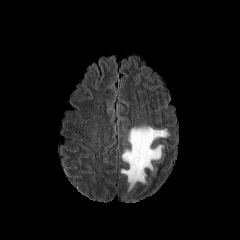
FLAIR MR image.
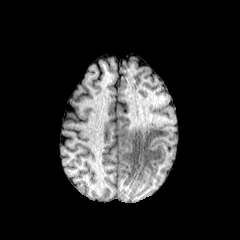
T1-weighted MR image.
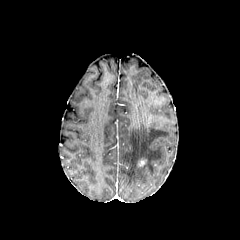
Post-contrast T1-weighted magnetic resonance.
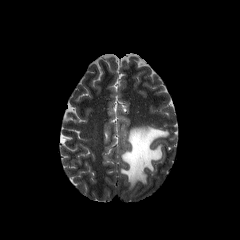
Same slice, T2-weighted magnetic resonance.
Axial plane | 240x240 px
peritumoral edema — [x1=121, y1=126, x2=169, y2=191]
enhancing tumor — [x1=137, y1=159, x2=146, y2=166]